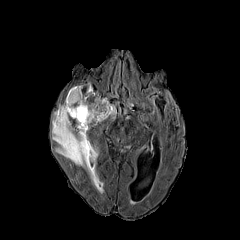
FLAIR magnetic resonance.
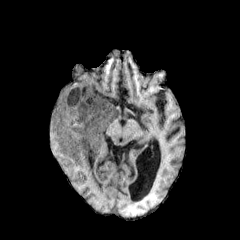
T1-weighted MR image of the same slice.
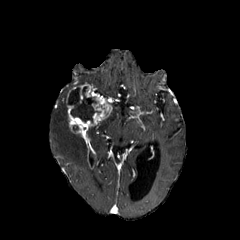
Post-contrast T1-weighted MRI of the same slice.
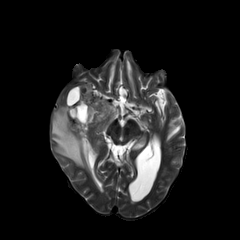
T2-weighted MRI.
Axial plane
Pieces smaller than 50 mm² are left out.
Annotated regions:
• peritumoral edema: l=51, t=101, r=98, b=184; l=110, t=105, r=116, b=119
• necrotic tumor core: l=68, t=87, r=100, b=122
• enhancing tumor: l=66, t=83, r=112, b=158